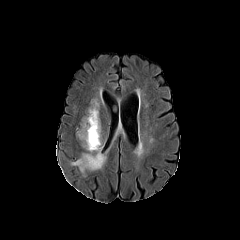
FLAIR MR image.
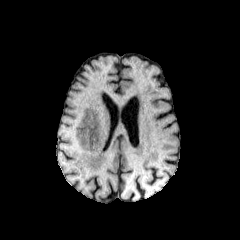
T1-weighted MR image.
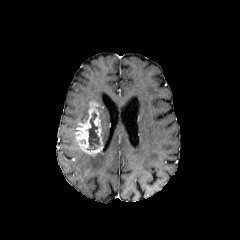
Post-contrast T1-weighted magnetic resonance.
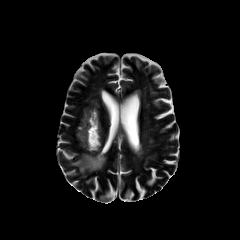
T2-weighted MR of the same slice.
Brain
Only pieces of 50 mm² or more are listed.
Segmented structures:
• enhancing tumor: region(76, 102, 102, 155)
• peritumoral edema: region(72, 152, 105, 170)
• necrotic tumor core: region(86, 112, 100, 150)